FLAIR MRI.
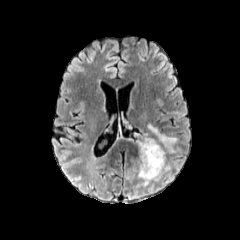
T1-weighted magnetic resonance.
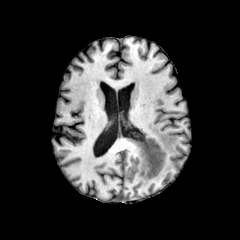
Post-contrast T1-weighted MR image.
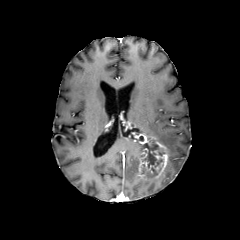
T2-weighted MR.
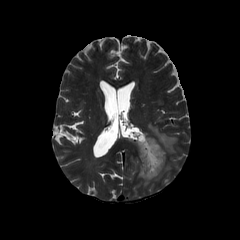
Axial slice. 240x240. Head.
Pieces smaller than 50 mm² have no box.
necrotic tumor core: [141, 141, 158, 168], [142, 164, 157, 176] | enhancing tumor: [137, 134, 168, 179] | peritumoral edema: [148, 124, 177, 153], [143, 175, 161, 186]